Image width 240 mm. Brain. Axial plane.
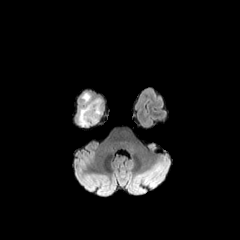
FLAIR MR image.
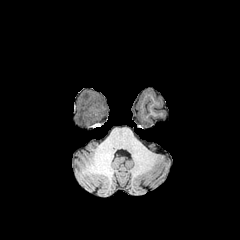
Same slice, T1-weighted MR.
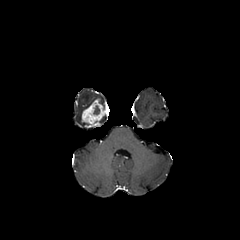
Post-contrast T1-weighted MR image.
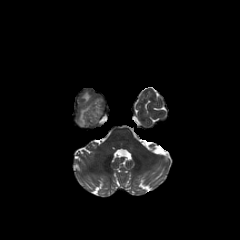
Same slice, T2-weighted MRI.
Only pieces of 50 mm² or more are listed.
* enhancing tumor: [81, 99, 104, 127]
* necrotic tumor core: [89, 105, 101, 116]
* peritumoral edema: [76, 92, 105, 127]